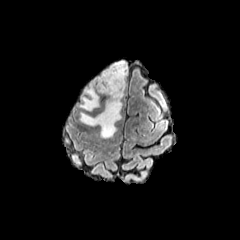
FLAIR magnetic resonance.
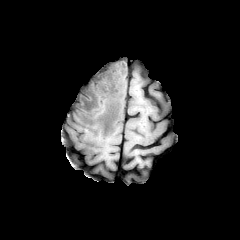
Same slice, T1-weighted MR image.
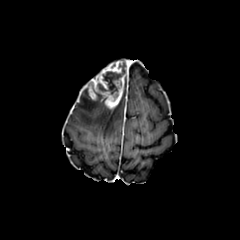
Post-contrast T1-weighted magnetic resonance.
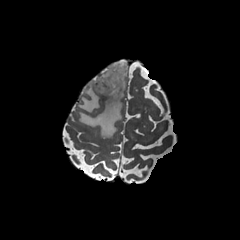
T2-weighted MR image.
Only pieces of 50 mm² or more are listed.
The 2 largest peritumoral edema regions appear at box=[77, 88, 100, 111]; box=[79, 99, 122, 137]. The enhancing tumor is located at box=[85, 61, 128, 109]. The largest necrotic tumor core region lies within box=[98, 72, 121, 94].